FLAIR magnetic resonance.
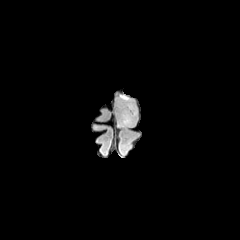
T1-weighted MR.
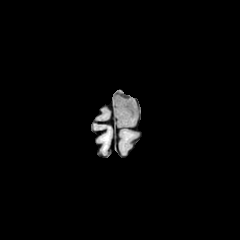
Post-contrast T1-weighted MR.
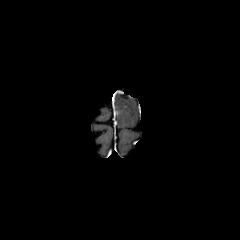
T2-weighted magnetic resonance.
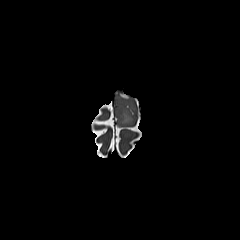
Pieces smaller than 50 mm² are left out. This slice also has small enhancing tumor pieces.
peritumoral edema: <bbox>116, 94, 136, 126</bbox>